FLAIR MRI.
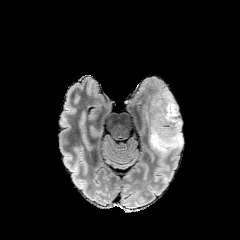
T1-weighted MR.
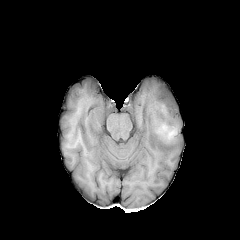
Post-contrast T1-weighted magnetic resonance.
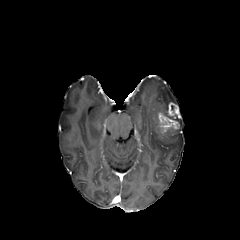
T2-weighted MR.
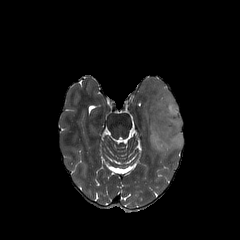
Image size 240x240
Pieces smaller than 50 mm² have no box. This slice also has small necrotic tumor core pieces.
peritumoral edema — <bbox>145, 88, 183, 157</bbox>
enhancing tumor — <bbox>158, 102, 179, 132</bbox>